Brain
FLAIR MR.
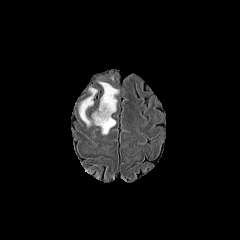
T1-weighted MR image.
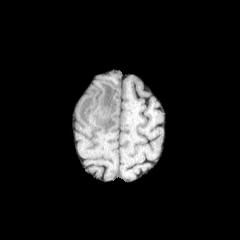
Post-contrast T1-weighted MR image.
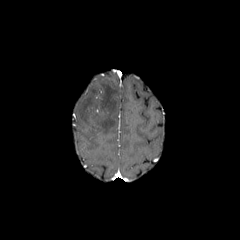
T2-weighted MR image.
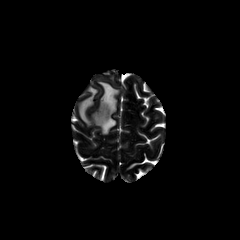
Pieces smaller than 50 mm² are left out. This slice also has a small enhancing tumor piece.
peritumoral edema: <box>79,87,97,126</box>, <box>92,81,118,134</box>